Axial view, Head, 240x240
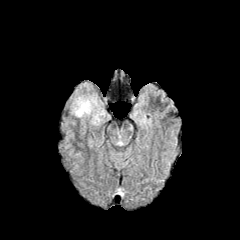
FLAIR MRI.
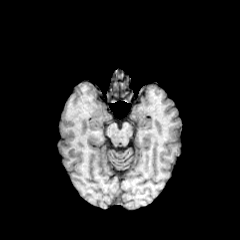
T1-weighted MR image.
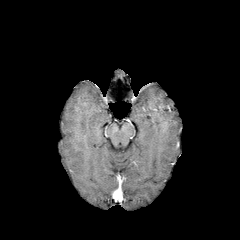
Post-contrast T1-weighted MR.
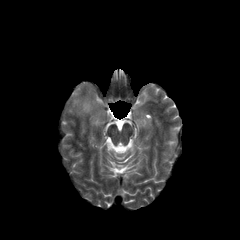
Same slice, T2-weighted MR image.
peritumoral edema: bounding box <bbox>71, 95, 105, 125</bbox>